240x240 px | Axial slice
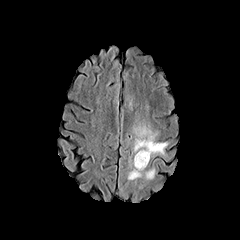
FLAIR MR image.
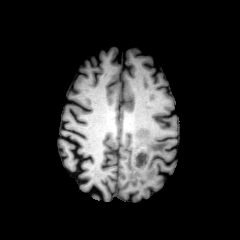
Same slice, T1-weighted MR image.
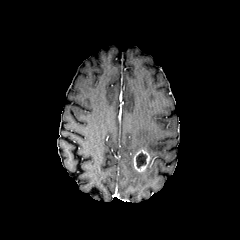
Post-contrast T1-weighted magnetic resonance.
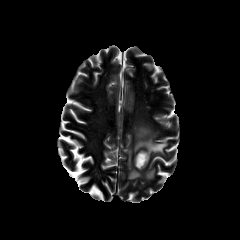
T2-weighted MRI of the same slice.
peritumoral edema: [x1=128, y1=167, x2=155, y2=180], [x1=134, y1=126, x2=168, y2=155]
enhancing tumor: [x1=133, y1=149, x2=149, y2=171]
necrotic tumor core: [x1=136, y1=152, x2=146, y2=167]